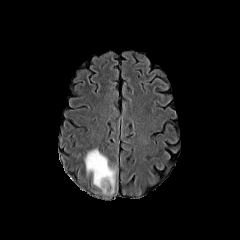
FLAIR MRI.
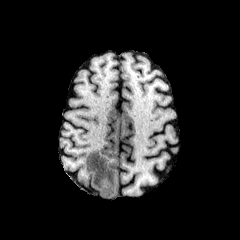
T1-weighted MR image of the same slice.
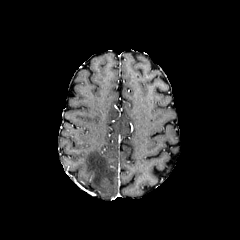
Post-contrast T1-weighted MR.
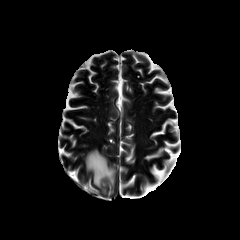
T2-weighted MR image.
Head; 240x240 px
peritumoral edema: [x1=83, y1=147, x2=118, y2=194]